Image covers 240 mm x 240 mm | Axial plane | Slice index 52 | Head
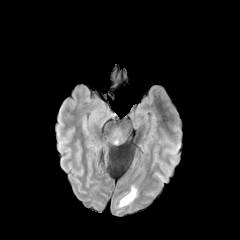
FLAIR MRI.
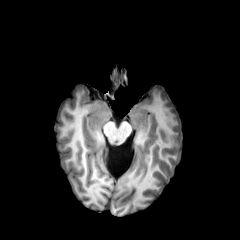
T1-weighted magnetic resonance.
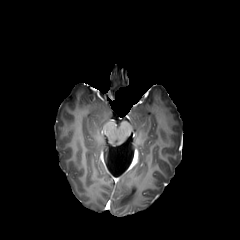
Post-contrast T1-weighted MR.
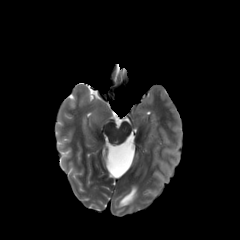
T2-weighted MRI of the same slice.
The peritumoral edema is located at x1=118, y1=187, x2=136, y2=207.